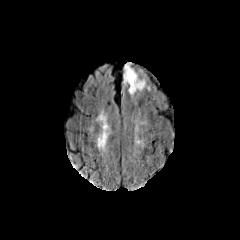
FLAIR MRI.
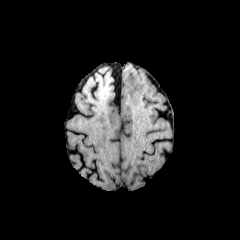
T1-weighted MRI.
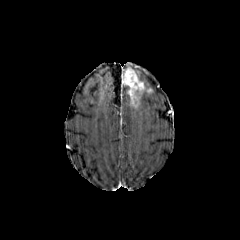
Post-contrast T1-weighted MR of the same slice.
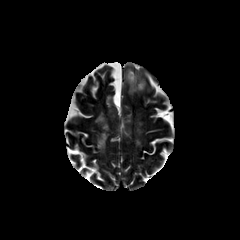
T2-weighted magnetic resonance.
Head; 240x240 px
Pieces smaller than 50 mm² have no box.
peritumoral edema: <box>131,84,152,105</box> | enhancing tumor: <box>123,67,144,103</box>